FLAIR MR.
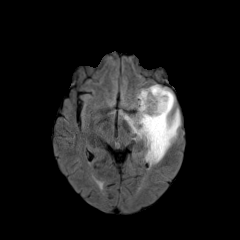
T1-weighted magnetic resonance.
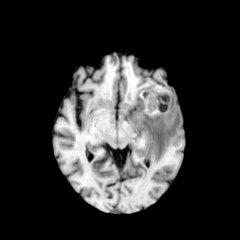
Post-contrast T1-weighted MRI.
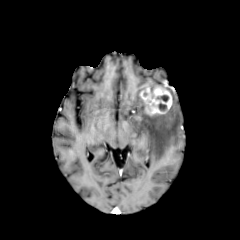
T2-weighted MR.
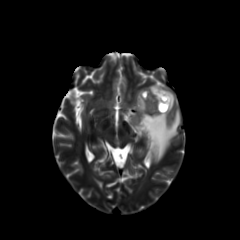
240x240 px, Brain
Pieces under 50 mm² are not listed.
necrotic tumor core at (157, 101, 166, 111), (156, 94, 168, 102)
peritumoral edema at (125, 84, 180, 163)
enhancing tumor at (138, 86, 171, 115)